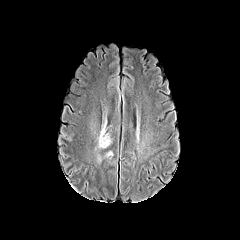
FLAIR MRI.
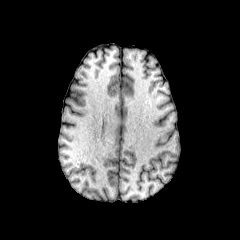
T1-weighted magnetic resonance.
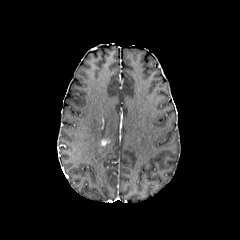
Post-contrast T1-weighted magnetic resonance.
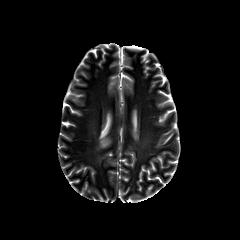
Same slice, T2-weighted magnetic resonance.
Axial slice | 240x240
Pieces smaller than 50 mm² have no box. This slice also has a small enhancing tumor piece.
The largest peritumoral edema region is located at 98,128,110,147.